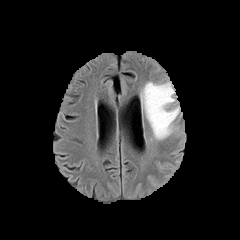
FLAIR MR image.
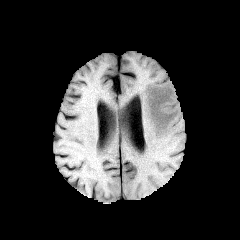
T1-weighted MR of the same slice.
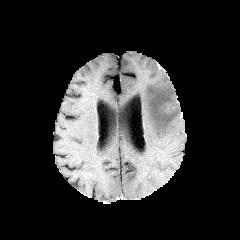
Post-contrast T1-weighted magnetic resonance.
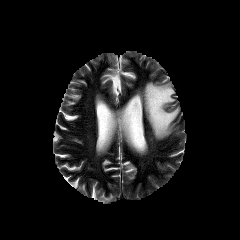
Same slice, T2-weighted MR image.
Head
peritumoral edema at x1=141 y1=81 x2=179 y2=139